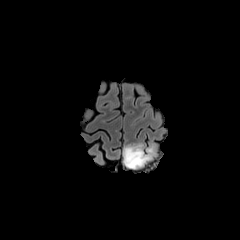
FLAIR MRI.
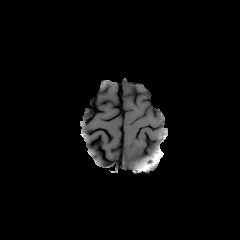
T1-weighted magnetic resonance of the same slice.
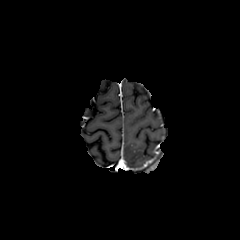
Post-contrast T1-weighted magnetic resonance.
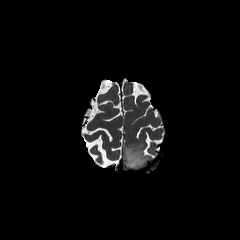
T2-weighted MR image.
240x240 px, Head
The peritumoral edema appears at (left=123, top=143, right=155, bottom=168).